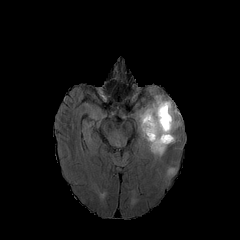
FLAIR MRI.
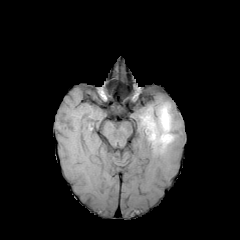
Same slice, T1-weighted magnetic resonance.
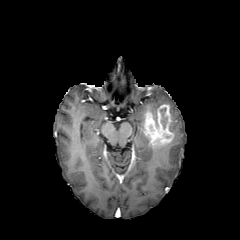
Same slice, post-contrast T1-weighted MRI.
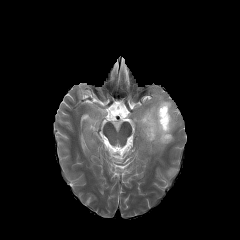
T2-weighted MR of the same slice.
Brain
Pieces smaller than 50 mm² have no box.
necrotic tumor core at (left=160, top=108, right=167, bottom=128)
enhancing tumor at (left=143, top=104, right=173, bottom=145)
peritumoral edema at (left=139, top=94, right=179, bottom=154)